Axial slice | Brain
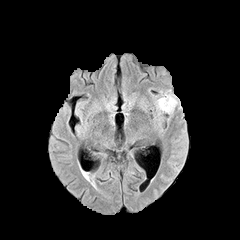
FLAIR magnetic resonance.
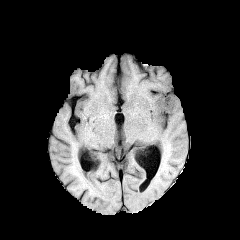
T1-weighted MR image.
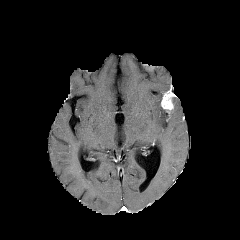
Post-contrast T1-weighted magnetic resonance of the same slice.
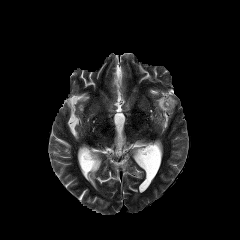
T2-weighted MRI.
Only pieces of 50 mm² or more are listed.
peritumoral edema — l=157, t=97, r=165, b=111
enhancing tumor — l=160, t=89, r=176, b=113